FLAIR magnetic resonance.
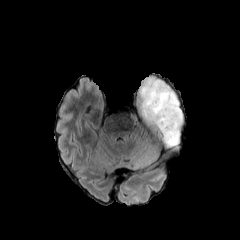
T1-weighted MR.
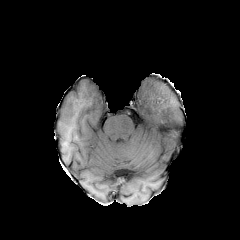
Post-contrast T1-weighted MRI.
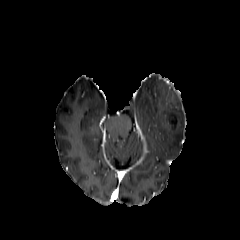
T2-weighted MR image.
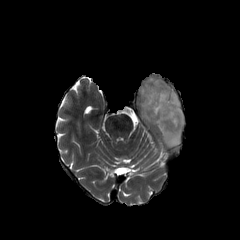
Brain. 240x240. Axial plane.
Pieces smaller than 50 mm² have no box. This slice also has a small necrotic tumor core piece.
<segmentation>
  <peritumoral_edema>(139, 78, 183, 146)</peritumoral_edema>
  <enhancing_tumor>(165, 113, 177, 127)</enhancing_tumor>
</segmentation>